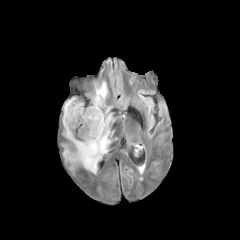
FLAIR MR.
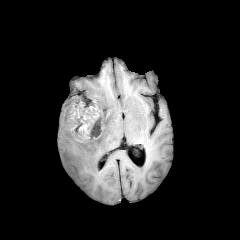
T1-weighted MR image of the same slice.
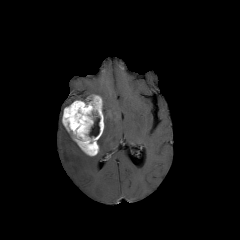
Post-contrast T1-weighted MR image.
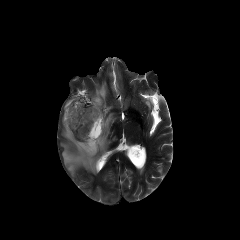
T2-weighted MR.
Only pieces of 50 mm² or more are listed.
The largest necrotic tumor core region is located at 89:117:99:136. 2 peritumoral edema regions appear at 64:97:77:107, 62:81:113:173. The largest enhancing tumor region is at 62:94:104:156.